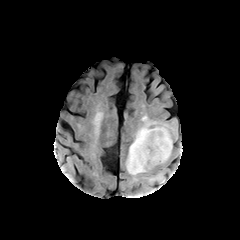
FLAIR MRI.
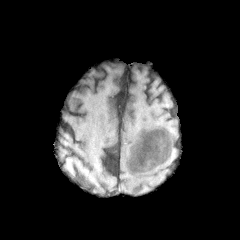
T1-weighted MR image of the same slice.
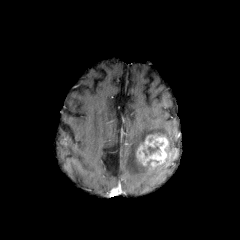
Post-contrast T1-weighted MRI.
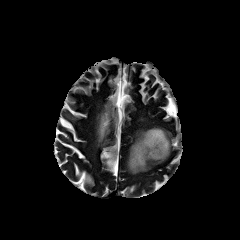
T2-weighted magnetic resonance of the same slice.
Head.
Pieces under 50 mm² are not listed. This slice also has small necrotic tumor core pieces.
<segmentation>
  <enhancing_tumor>bbox(136, 133, 170, 167)</enhancing_tumor>
  <peritumoral_edema>bbox(126, 123, 172, 175)</peritumoral_edema>
</segmentation>